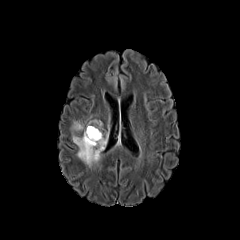
FLAIR MRI.
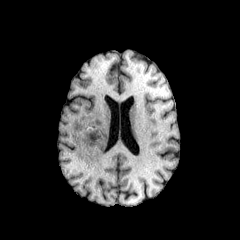
T1-weighted magnetic resonance.
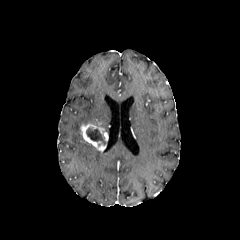
Same slice, post-contrast T1-weighted magnetic resonance.
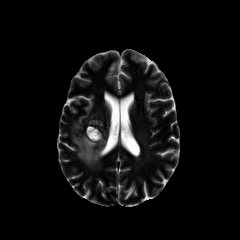
T2-weighted MR image.
Image size 240x240, Brain
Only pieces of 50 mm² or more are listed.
The largest peritumoral edema region is bounded by 71, 119, 101, 166. The necrotic tumor core is at 86, 127, 105, 144. The enhancing tumor appears at 80, 120, 108, 151.